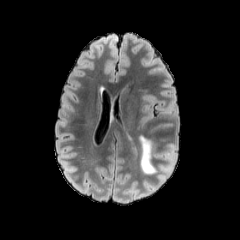
FLAIR MR.
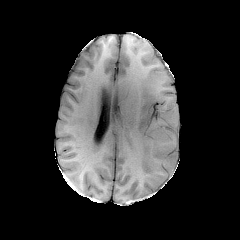
T1-weighted MR image.
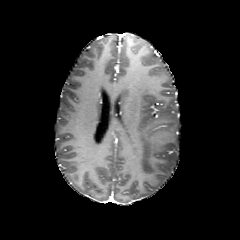
Post-contrast T1-weighted MR.
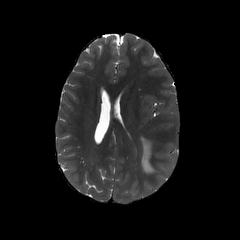
T2-weighted MRI.
240x240 px | Head | Axial view
2 peritumoral edema regions are bounded by [140,136,157,173], [165,153,176,161].